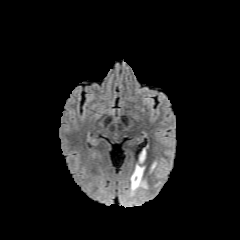
FLAIR MR.
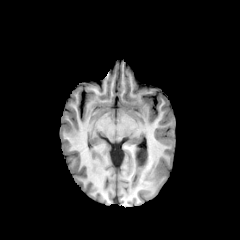
T1-weighted MR image of the same slice.
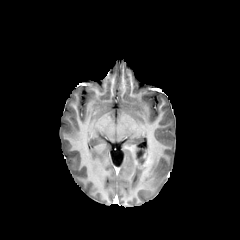
Same slice, post-contrast T1-weighted MR image.
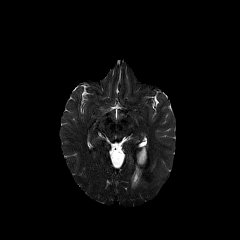
T2-weighted MR image.
Head
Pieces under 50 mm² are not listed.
{"necrotic_tumor_core": ["region(139, 151, 145, 162)"], "peritumoral_edema": ["region(130, 161, 146, 194)"], "enhancing_tumor": ["region(138, 152, 146, 166)"]}